Axial plane; Slice 30 of 155
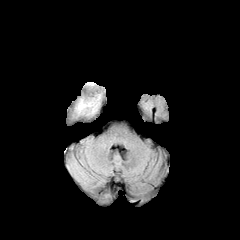
FLAIR MR image.
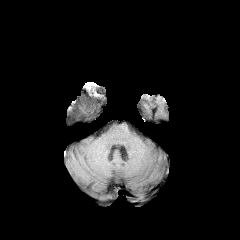
T1-weighted MR image of the same slice.
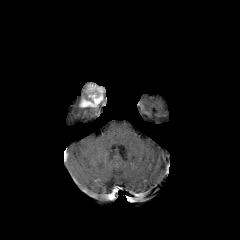
Post-contrast T1-weighted MRI.
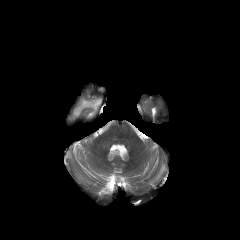
Same slice, T2-weighted MRI.
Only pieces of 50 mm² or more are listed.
<segmentation>
  <enhancing_tumor>left=78, top=85, right=103, bottom=116</enhancing_tumor>
  <peritumoral_edema>left=73, top=99, right=92, bottom=117</peritumoral_edema>
</segmentation>